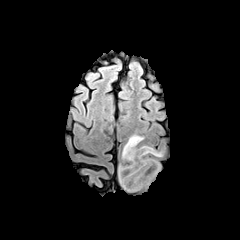
FLAIR magnetic resonance.
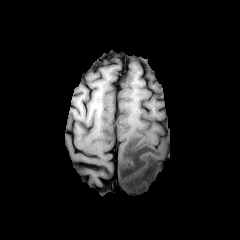
T1-weighted MR image.
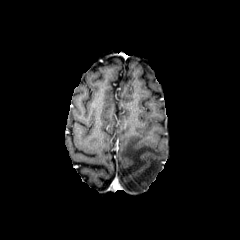
Same slice, post-contrast T1-weighted MRI.
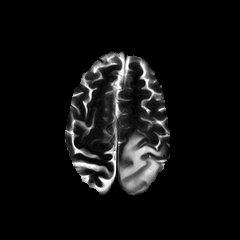
Same slice, T2-weighted MR.
Axial slice. 240x240 px.
- peritumoral edema: left=119, top=134, right=162, bottom=191